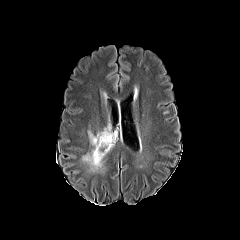
FLAIR magnetic resonance.
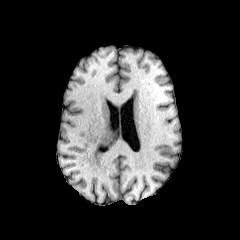
T1-weighted MR image of the same slice.
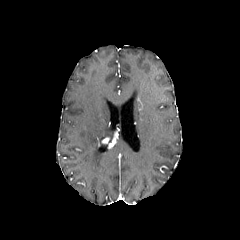
Post-contrast T1-weighted MR of the same slice.
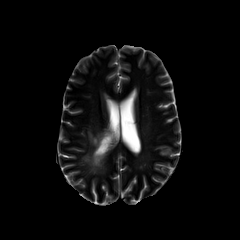
T2-weighted MRI.
Brain
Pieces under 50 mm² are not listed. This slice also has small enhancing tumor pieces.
peritumoral edema — 82 127 113 171